FLAIR MR.
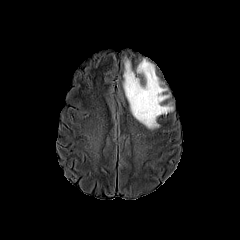
T1-weighted magnetic resonance.
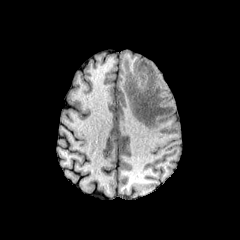
Post-contrast T1-weighted MR image.
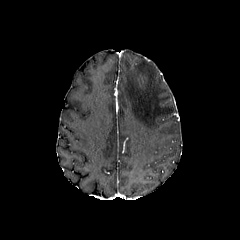
T2-weighted MR.
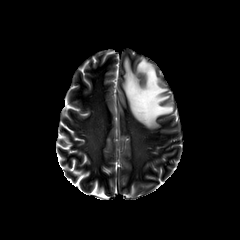
Findings:
• peritumoral edema: x1=122, y1=59, x2=173, y2=129